Slice 88/155
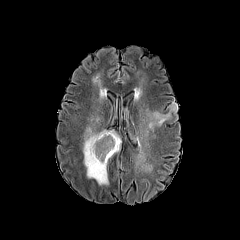
FLAIR MRI.
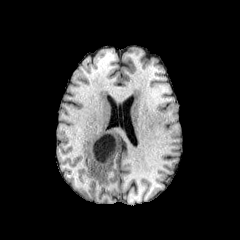
Same slice, T1-weighted magnetic resonance.
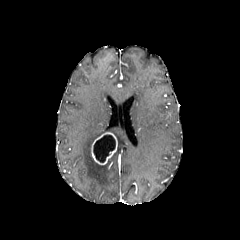
Post-contrast T1-weighted MR image of the same slice.
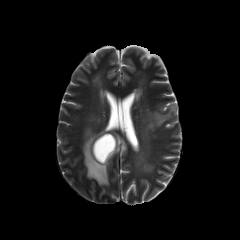
Same slice, T2-weighted MRI.
- enhancing tumor: x1=91 y1=132 x2=117 y2=165
- necrotic tumor core: x1=93 y1=135 x2=115 y2=162
- peritumoral edema: x1=142 y1=103 x2=177 y2=135, x1=83 y1=127 x2=121 y2=185